Brain; Image width 240 mm, 1.00 mm slice spacing; 240x240; Axial plane
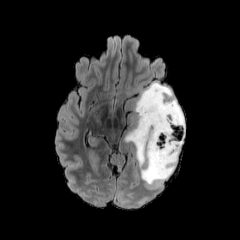
FLAIR magnetic resonance.
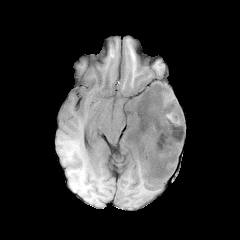
T1-weighted MRI.
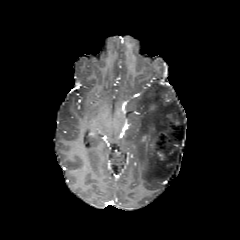
Post-contrast T1-weighted MR image.
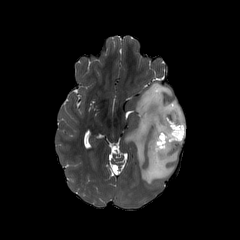
T2-weighted magnetic resonance.
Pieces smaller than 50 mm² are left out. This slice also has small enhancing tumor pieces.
peritumoral edema: [125, 82, 185, 184]